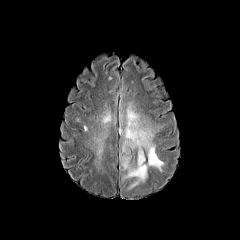
FLAIR MR image.
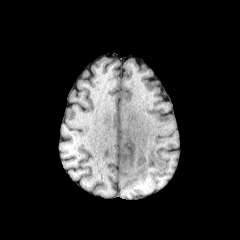
T1-weighted MR.
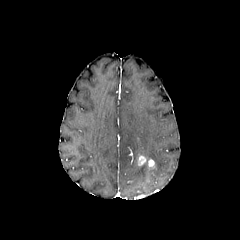
Post-contrast T1-weighted MR image.
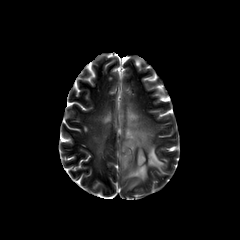
T2-weighted MR.
240x240 px.
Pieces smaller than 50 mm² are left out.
2 peritumoral edema regions are bounded by box=[89, 93, 118, 174]; box=[118, 86, 166, 190]. The largest enhancing tumor region is located at box=[137, 155, 146, 166].